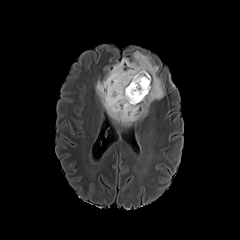
FLAIR MR.
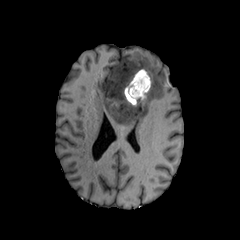
T1-weighted MR.
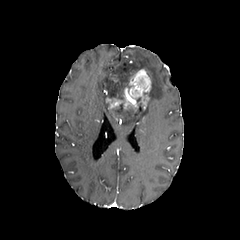
Post-contrast T1-weighted MRI.
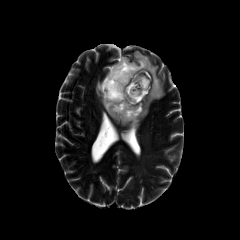
T2-weighted MRI.
Axial plane
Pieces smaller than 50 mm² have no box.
peritumoral_edema:
  - box(95, 51, 166, 127)
enhancing_tumor:
  - box(106, 69, 151, 115)
necrotic_tumor_core:
  - box(113, 103, 133, 118)
  - box(104, 63, 135, 100)